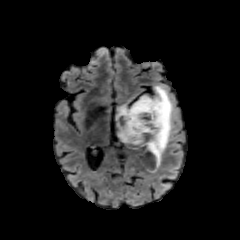
FLAIR magnetic resonance.
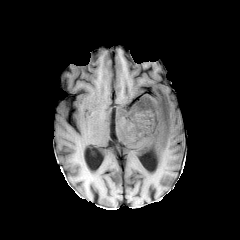
T1-weighted MR.
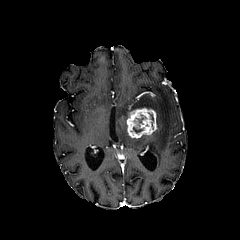
Post-contrast T1-weighted MRI of the same slice.
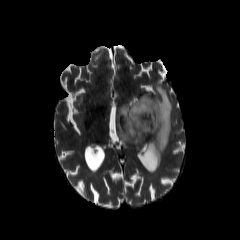
T2-weighted MR image.
240x240 px
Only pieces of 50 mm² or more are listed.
Segmented structures:
- enhancing tumor: (left=126, top=107, right=157, bottom=138), (left=140, top=146, right=158, bottom=164)
- peritumoral edema: (left=114, top=85, right=173, bottom=173)
- necrotic tumor core: (left=133, top=114, right=147, bottom=123)